FLAIR MR image.
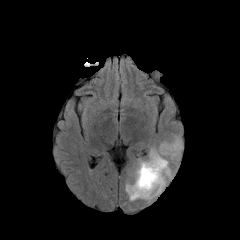
T1-weighted MR image.
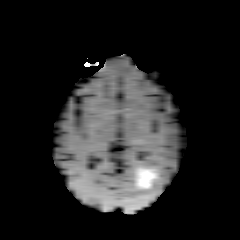
Post-contrast T1-weighted magnetic resonance.
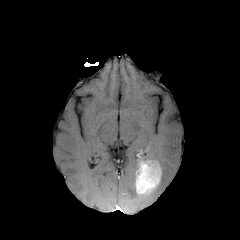
T2-weighted MR.
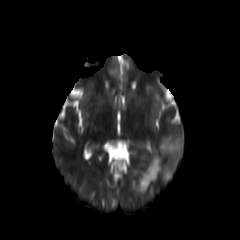
Brain. 240x240 px.
Annotated regions:
* enhancing tumor: (left=135, top=160, right=161, bottom=194)
* peritumoral edema: (left=125, top=134, right=183, bottom=200)